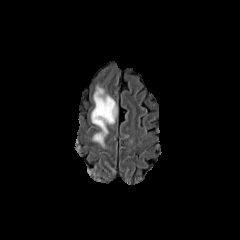
FLAIR MR image.
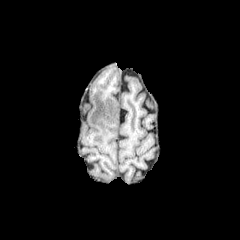
T1-weighted MR.
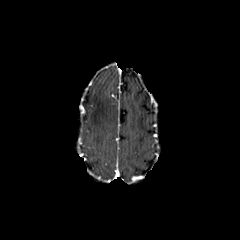
Post-contrast T1-weighted MR image.
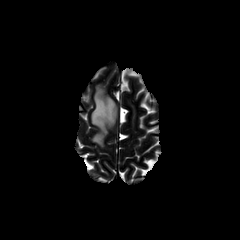
T2-weighted MR.
Axial slice; Head
The peritumoral edema is at region(91, 86, 116, 145).